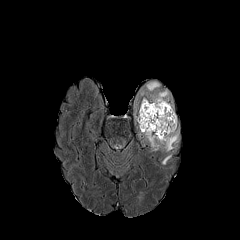
FLAIR MR.
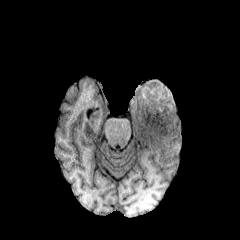
T1-weighted magnetic resonance.
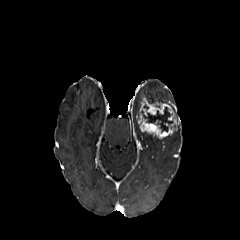
Same slice, post-contrast T1-weighted MR.
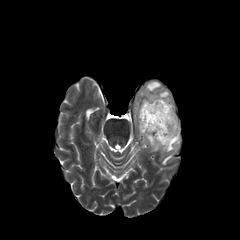
Same slice, T2-weighted MR.
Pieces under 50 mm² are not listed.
• peritumoral edema: region(135, 81, 179, 151)
• enhancing tumor: region(137, 97, 178, 138)
• necrotic tumor core: region(141, 107, 172, 131)